Head. Slice 59/155.
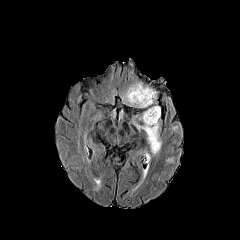
FLAIR magnetic resonance.
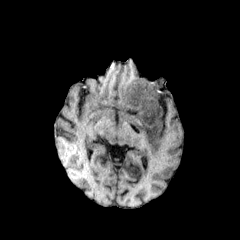
Same slice, T1-weighted MRI.
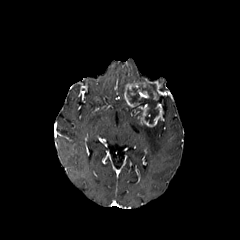
Post-contrast T1-weighted magnetic resonance.
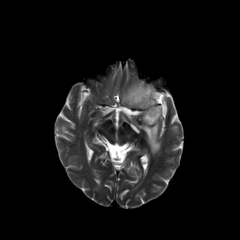
T2-weighted MR.
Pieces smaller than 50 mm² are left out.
<segmentation>
  <peritumoral_edema>x1=135, y1=121, x2=161, y2=154</peritumoral_edema>
  <necrotic_tumor_core>x1=127, y1=84, x2=158, y2=123</necrotic_tumor_core>
  <enhancing_tumor>x1=138, y1=90, x2=149, y2=99; x1=138, y1=103, x2=162, y2=127; x1=124, y1=81, x2=147, y2=107</enhancing_tumor>
</segmentation>